FLAIR MRI.
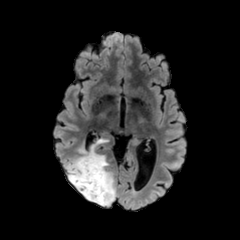
T1-weighted magnetic resonance.
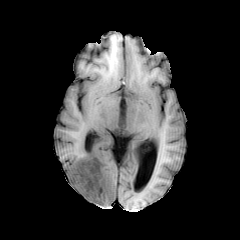
Post-contrast T1-weighted MR image.
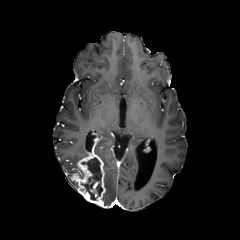
T2-weighted MR image.
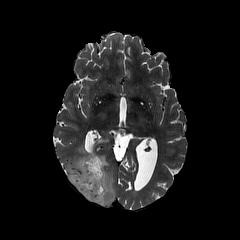
Head
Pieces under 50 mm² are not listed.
The peritumoral edema appears at <bbox>66, 139, 115, 206</bbox>. The necrotic tumor core lies within <bbox>81, 157, 102, 200</bbox>. The 2 largest enhancing tumor regions appear at <bbox>70, 148, 105, 206</bbox>, <bbox>90, 181, 99, 196</bbox>.